Brain; Axial slice; Slice 76 of 155; Image size 240x240
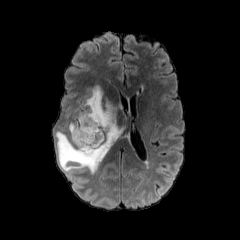
FLAIR MR image.
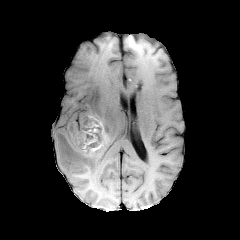
Same slice, T1-weighted MR.
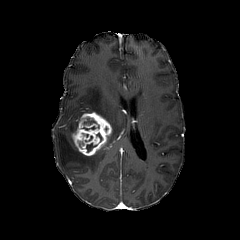
Post-contrast T1-weighted MR image.
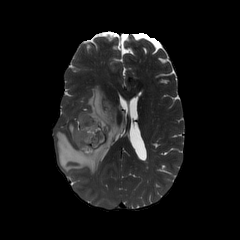
Same slice, T2-weighted MR image.
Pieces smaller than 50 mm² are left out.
<segmentation>
  <enhancing_tumor>{"x1": 72, "y1": 112, "x2": 112, "y2": 156}</enhancing_tumor>
  <peritumoral_edema>{"x1": 55, "y1": 86, "x2": 120, "y2": 173}</peritumoral_edema>
  <necrotic_tumor_core>{"x1": 77, "y1": 133, "x2": 96, "y2": 152}</necrotic_tumor_core>
</segmentation>